FLAIR magnetic resonance.
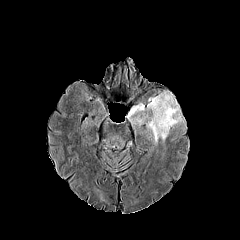
T1-weighted MRI.
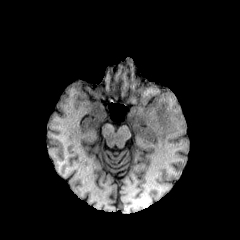
Post-contrast T1-weighted MRI.
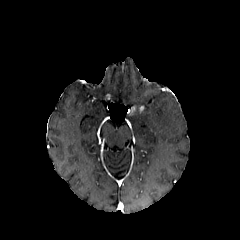
T2-weighted magnetic resonance.
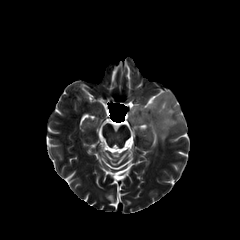
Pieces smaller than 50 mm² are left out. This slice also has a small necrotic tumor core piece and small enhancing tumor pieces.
peritumoral edema: [134, 116, 146, 123], [147, 93, 181, 142]